Axial plane | Slice 56/155 | Brain
FLAIR MR image.
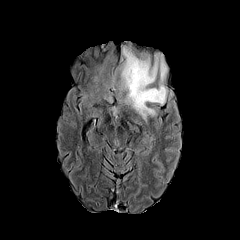
T1-weighted MR image.
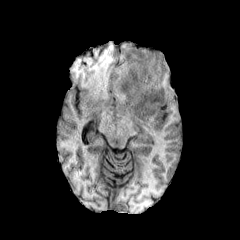
Post-contrast T1-weighted MR image.
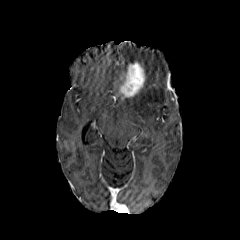
T2-weighted MRI.
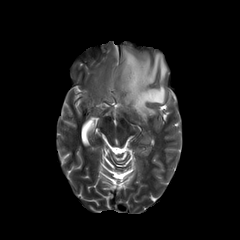
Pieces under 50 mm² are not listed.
peritumoral edema: bbox=[90, 65, 103, 87]; bbox=[117, 44, 168, 123] | enhancing tumor: bbox=[119, 61, 145, 97]